Image width 240 mm, 1.00 mm slice spacing, Image size 240x240, Brain, Axial slice
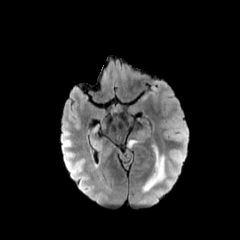
FLAIR MRI.
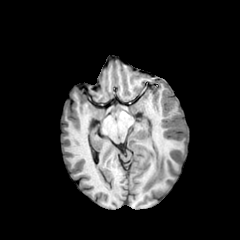
T1-weighted MR of the same slice.
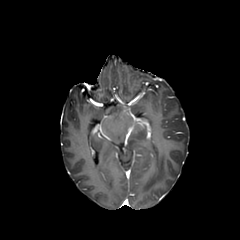
Post-contrast T1-weighted magnetic resonance.
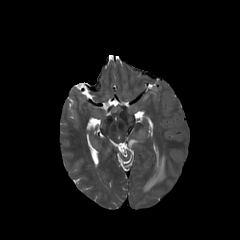
T2-weighted MR image of the same slice.
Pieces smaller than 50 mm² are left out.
• peritumoral edema: left=143, top=147, right=165, bottom=191